Image width 240 mm | Brain | Slice 106 of 155
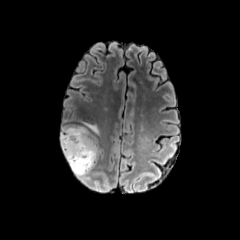
FLAIR magnetic resonance.
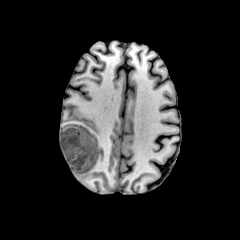
T1-weighted MR image.
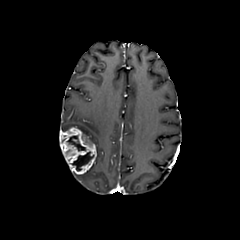
Same slice, post-contrast T1-weighted MR.
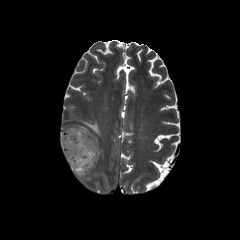
T2-weighted MR.
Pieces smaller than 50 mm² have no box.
<segmentation>
  <necrotic_tumor_core>72:152:94:171, 67:136:85:150</necrotic_tumor_core>
  <peritumoral_edema>61:122:100:162, 74:163:94:180</peritumoral_edema>
  <enhancing_tumor>59:127:96:174</enhancing_tumor>
</segmentation>